FLAIR MR image.
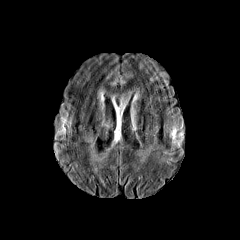
T1-weighted MR image.
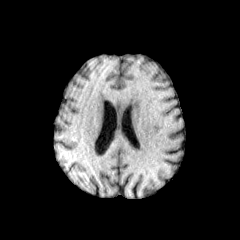
Post-contrast T1-weighted MR image.
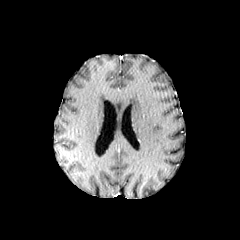
T2-weighted magnetic resonance.
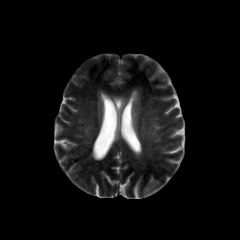
Brain. 240x240.
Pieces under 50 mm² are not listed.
peritumoral edema: rect(97, 88, 105, 104); rect(110, 90, 132, 138); rect(109, 72, 125, 86); rect(130, 88, 140, 127)